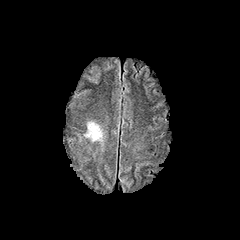
FLAIR magnetic resonance.
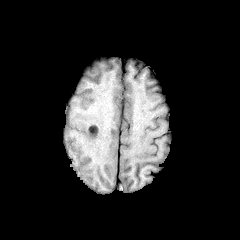
Same slice, T1-weighted MR.
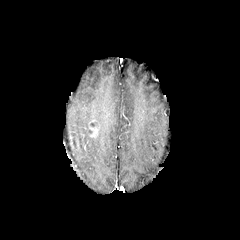
Post-contrast T1-weighted MRI of the same slice.
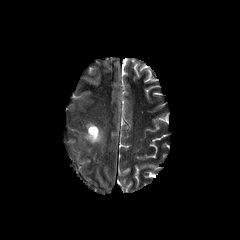
T2-weighted MRI of the same slice.
240x240 px
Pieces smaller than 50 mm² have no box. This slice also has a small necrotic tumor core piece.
enhancing tumor: x1=88, y1=127, x2=97, y2=137 | peritumoral edema: x1=86, y1=122, x2=102, y2=141